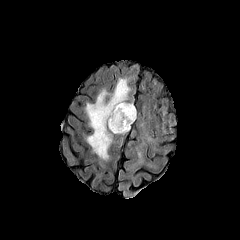
FLAIR MRI.
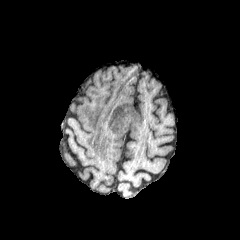
T1-weighted magnetic resonance.
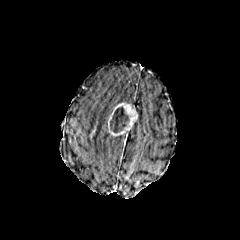
Post-contrast T1-weighted MR.
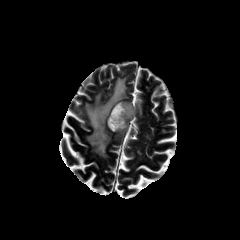
T2-weighted MRI.
Axial view
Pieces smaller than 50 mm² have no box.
Findings:
- necrotic tumor core: <bbox>110, 107, 129, 132</bbox>
- enhancing tumor: <bbox>107, 102, 137, 135</bbox>
- peritumoral edema: <bbox>85, 78, 129, 161</bbox>